Image size 240x240. Head.
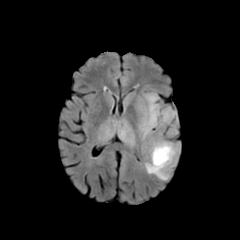
FLAIR magnetic resonance.
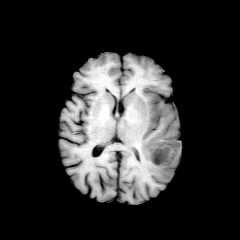
T1-weighted MRI.
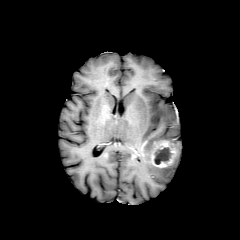
Same slice, post-contrast T1-weighted MR.
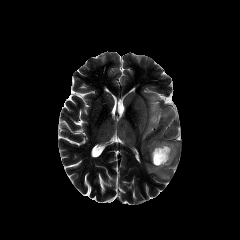
Same slice, T2-weighted MR image.
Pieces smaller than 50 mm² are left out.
peritumoral edema at bbox(145, 138, 180, 180); bbox(139, 91, 176, 139)
enhancing tumor at bbox(151, 141, 177, 167)
necrotic tumor core at bbox(154, 147, 171, 164)